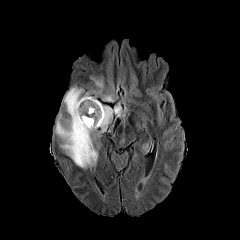
FLAIR MRI.
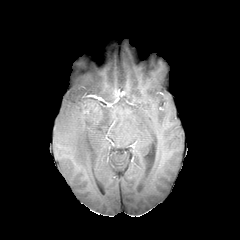
T1-weighted MRI.
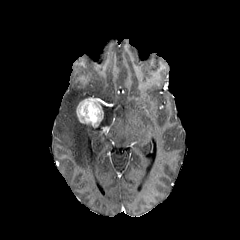
Post-contrast T1-weighted MRI.
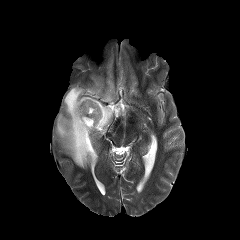
T2-weighted MRI.
240x240 px | Brain
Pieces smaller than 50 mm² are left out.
enhancing tumor: x1=76, y1=97, x2=103, y2=127
peritumoral edema: x1=55, y1=77, x2=122, y2=168